Image width 240 mm, 1.00 mm slice spacing, Slice 89/155
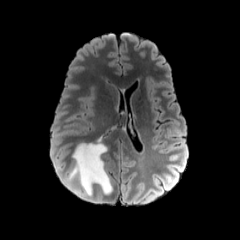
FLAIR MR image.
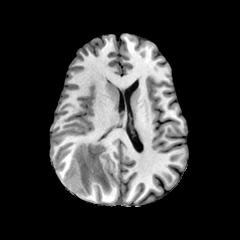
T1-weighted MR.
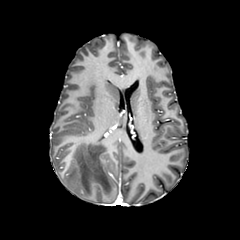
Post-contrast T1-weighted MR image.
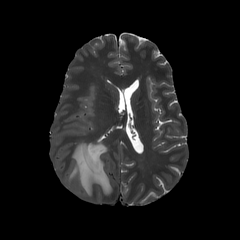
Same slice, T2-weighted MRI.
peritumoral edema: bounding box x1=67, y1=136, x2=112, y2=195